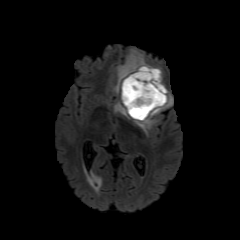
FLAIR MRI.
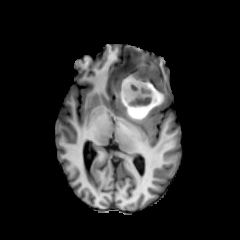
T1-weighted MR image.
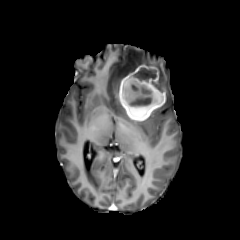
Same slice, post-contrast T1-weighted MR.
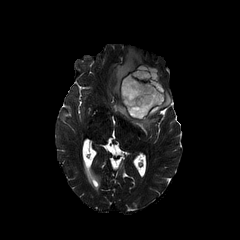
T2-weighted MRI.
Axial plane
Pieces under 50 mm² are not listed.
The enhancing tumor appears at <box>119,65,166,120</box>. The 3 largest peritumoral edema regions appear at <box>132,90,172,134</box>, <box>113,49,146,95</box>, <box>114,99,129,118</box>. 2 necrotic tumor core regions are bounded by <box>151,81,162,92</box>, <box>123,67,157,117</box>.